Brain | Axial plane
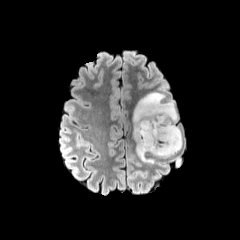
FLAIR MR image.
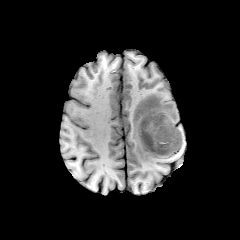
T1-weighted MR of the same slice.
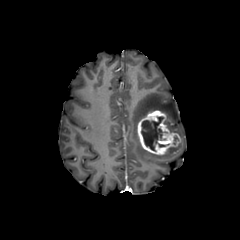
Post-contrast T1-weighted MR of the same slice.
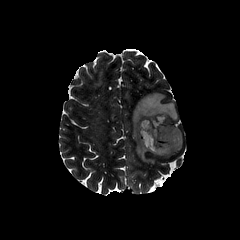
Same slice, T2-weighted MR.
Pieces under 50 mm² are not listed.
enhancing tumor: (left=137, top=110, right=181, bottom=154)
peritumoral edema: (left=132, top=92, right=182, bottom=164)
necrotic tumor core: (left=141, top=116, right=166, bottom=151)